Head, 240x240
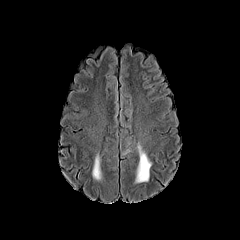
FLAIR MR.
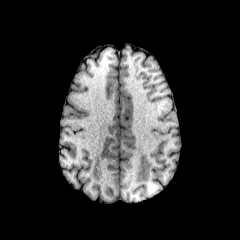
Same slice, T1-weighted MR image.
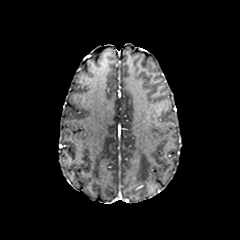
Post-contrast T1-weighted MRI.
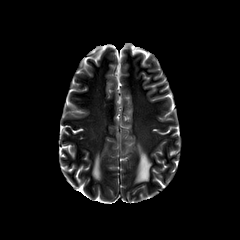
T2-weighted MRI.
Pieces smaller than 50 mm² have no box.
Segmented structures:
• peritumoral edema: bbox(92, 153, 101, 180); bbox(135, 143, 151, 183)